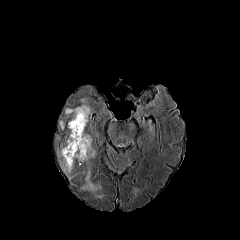
FLAIR MRI.
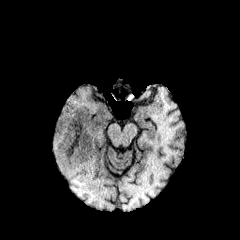
T1-weighted MRI of the same slice.
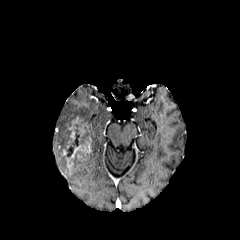
Post-contrast T1-weighted MR.
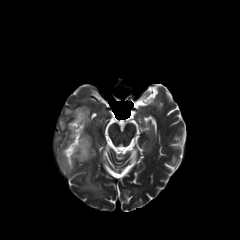
T2-weighted magnetic resonance.
Image size 240x240. Head. Axial slice.
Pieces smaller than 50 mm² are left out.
The 3 largest enhancing tumor regions are bounded by box=[66, 136, 91, 170]; box=[68, 117, 81, 141]; box=[78, 124, 85, 141]. The necrotic tumor core appears at box=[66, 124, 87, 157]. The 4 largest peritumoral edema regions are bounded by box=[58, 129, 73, 173]; box=[65, 104, 91, 126]; box=[81, 170, 101, 191]; box=[78, 148, 95, 165].